FLAIR MRI.
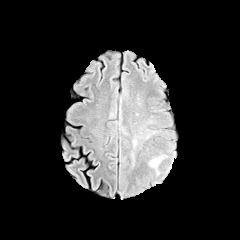
T1-weighted magnetic resonance.
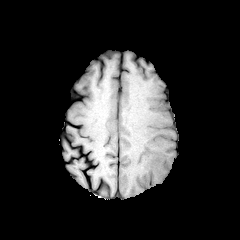
Post-contrast T1-weighted MR.
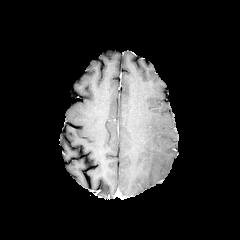
T2-weighted MR.
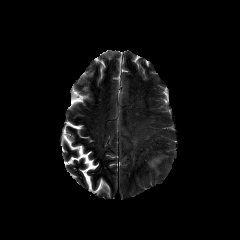
Brain
<segmentation>
  <peritumoral_edema>x1=132 y1=141 x2=136 y2=163, x1=148 y1=155 x2=166 y2=174</peritumoral_edema>
</segmentation>